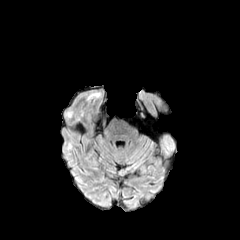
FLAIR MR image.
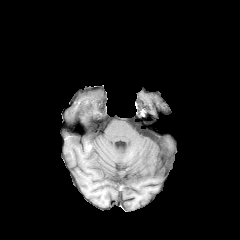
T1-weighted MR image.
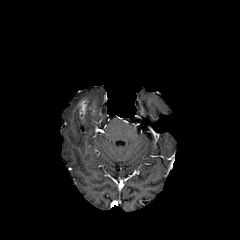
Post-contrast T1-weighted MRI.
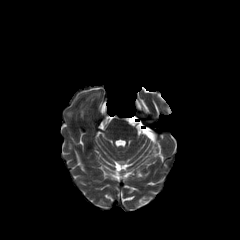
T2-weighted MRI of the same slice.
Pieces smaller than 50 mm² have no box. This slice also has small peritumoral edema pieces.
enhancing tumor: bounding box 73:97:95:122